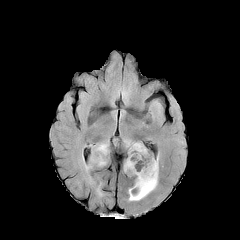
FLAIR magnetic resonance.
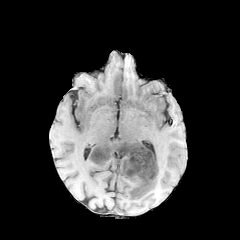
Same slice, T1-weighted MR.
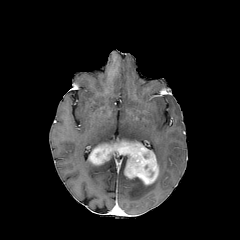
Post-contrast T1-weighted MRI of the same slice.
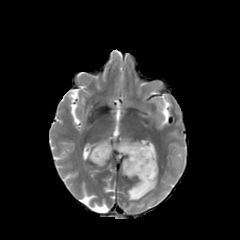
T2-weighted magnetic resonance.
Brain
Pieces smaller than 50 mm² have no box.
The largest peritumoral edema region is located at x1=128, y1=177, x2=157, y2=200. The enhancing tumor is at x1=89, y1=140, x2=158, y2=185.